FLAIR MR image.
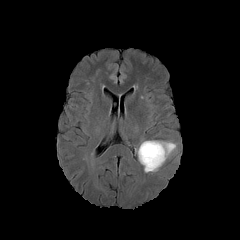
T1-weighted MRI.
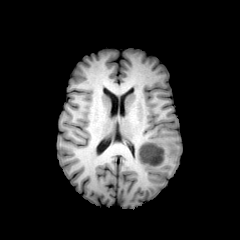
Post-contrast T1-weighted magnetic resonance.
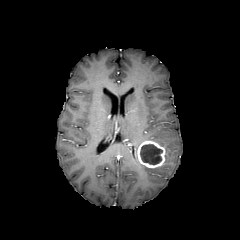
T2-weighted magnetic resonance.
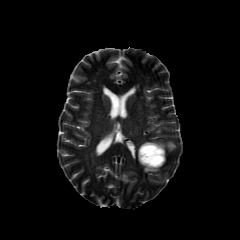
Axial plane
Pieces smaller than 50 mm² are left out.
- enhancing tumor: 137,141,165,167
- necrotic tumor core: 140,144,162,164
- peritumoral edema: 152,140,176,161; 144,166,159,172